Slice index 80
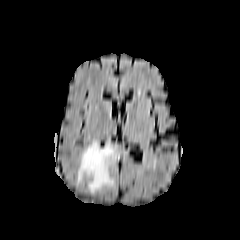
FLAIR magnetic resonance.
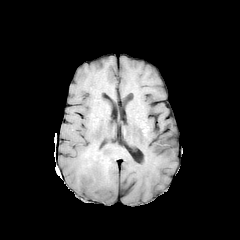
T1-weighted MR of the same slice.
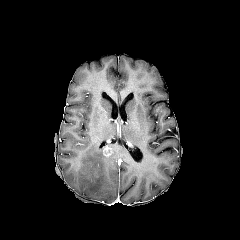
Post-contrast T1-weighted MR of the same slice.
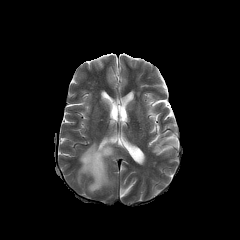
Same slice, T2-weighted MRI.
enhancing tumor: <bbox>103, 146, 113, 157</bbox> | peritumoral edema: <bbox>77, 141, 128, 193</bbox>